Image size 240x240. Axial plane.
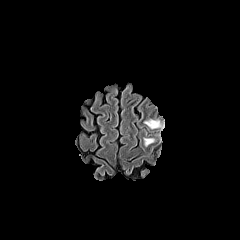
FLAIR MR image.
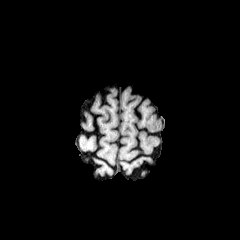
Same slice, T1-weighted MR.
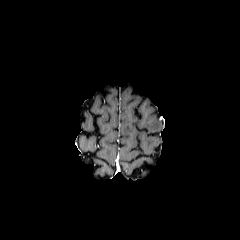
Post-contrast T1-weighted magnetic resonance of the same slice.
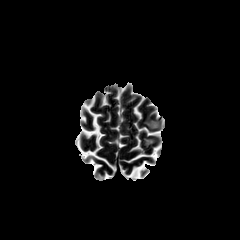
T2-weighted MR image.
peritumoral edema: x1=144 y1=120 x2=161 y2=128, x1=144 y1=138 x2=154 y2=145